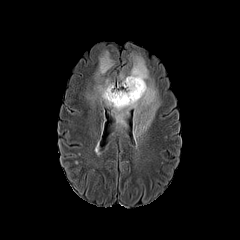
FLAIR MR image.
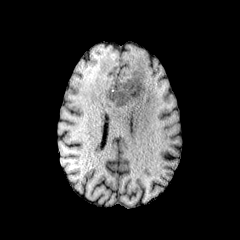
T1-weighted MR.
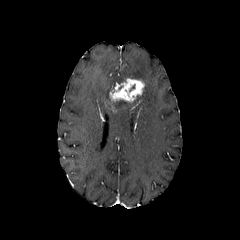
Same slice, post-contrast T1-weighted magnetic resonance.
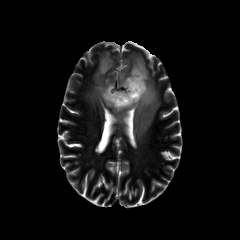
T2-weighted MR of the same slice.
Axial slice
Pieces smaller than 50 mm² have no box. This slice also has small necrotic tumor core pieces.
{"peritumoral_edema": ["96, 51, 113, 79", "91, 56, 159, 141"], "enhancing_tumor": ["109, 78, 144, 103"]}